240x240 px. Head. Axial slice.
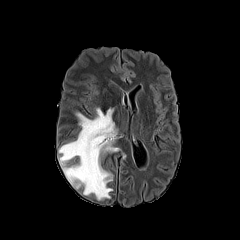
FLAIR MR image.
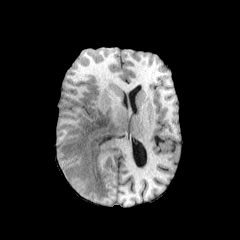
T1-weighted magnetic resonance.
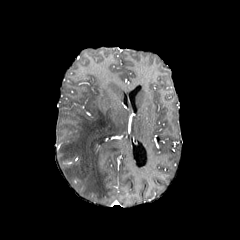
Same slice, post-contrast T1-weighted MR.
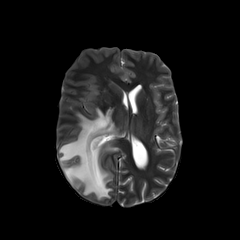
T2-weighted MRI.
{"peritumoral_edema": ["rect(59, 108, 119, 199)"]}